FLAIR MRI.
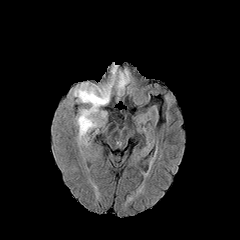
T1-weighted magnetic resonance.
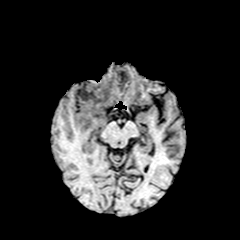
Post-contrast T1-weighted MR image.
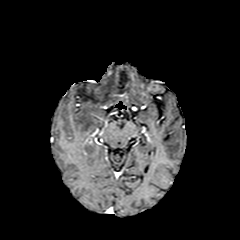
T2-weighted MRI.
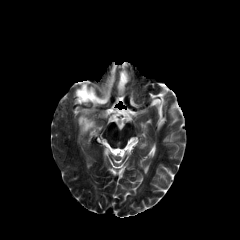
Head. Axial plane.
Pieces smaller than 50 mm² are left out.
peritumoral edema at x1=117, y1=70, x2=129, y2=93; x1=74, y1=64, x2=117, y2=138